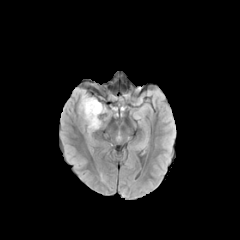
FLAIR MRI.
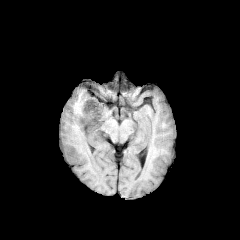
T1-weighted MR image.
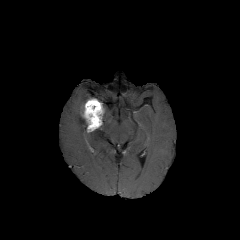
Post-contrast T1-weighted MR image.
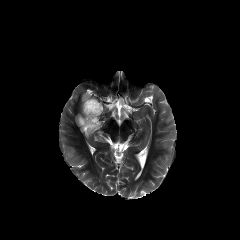
Same slice, T2-weighted magnetic resonance.
Brain
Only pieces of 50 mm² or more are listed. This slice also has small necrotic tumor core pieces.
The 2 largest peritumoral edema regions appear at [x1=74, y1=92, x2=89, y2=115], [x1=98, y1=107, x2=112, y2=129]. The enhancing tumor is at [x1=80, y1=97, x2=104, y2=132].